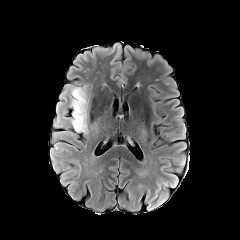
FLAIR magnetic resonance.
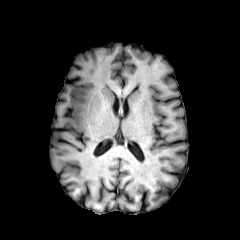
T1-weighted MR of the same slice.
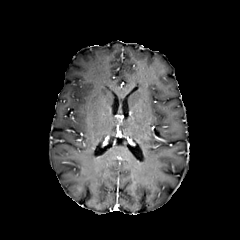
Post-contrast T1-weighted magnetic resonance.
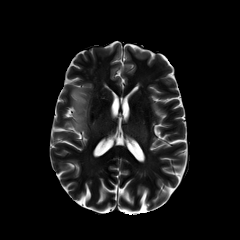
T2-weighted magnetic resonance of the same slice.
Head | Axial plane
peritumoral edema: bounding box bbox(70, 85, 89, 133)